Slice 100 of 155; 240x240 px; Brain
FLAIR magnetic resonance.
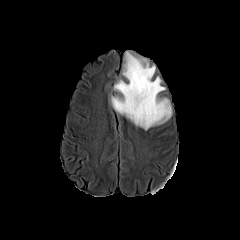
T1-weighted MR.
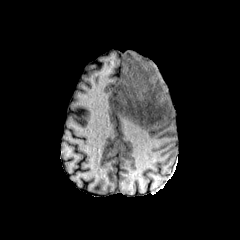
Post-contrast T1-weighted magnetic resonance.
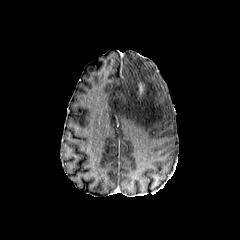
T2-weighted MR image.
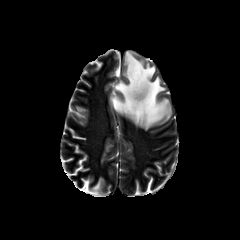
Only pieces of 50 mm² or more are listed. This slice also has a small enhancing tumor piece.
peritumoral edema: bounding box x1=110, y1=51, x2=172, y2=130